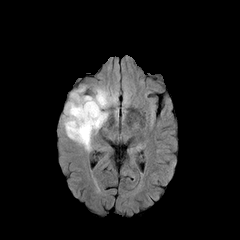
FLAIR MRI.
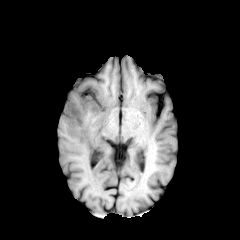
T1-weighted MRI.
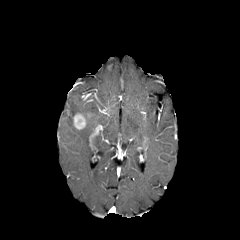
Same slice, post-contrast T1-weighted MR.
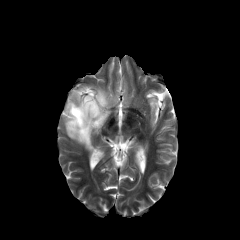
T2-weighted MR.
Head
peritumoral_edema:
  - [62,85,117,151]
enhancing_tumor:
  - [72,112,86,129]